Image width 240 mm | Image size 240x240 | Axial slice | Brain
FLAIR magnetic resonance.
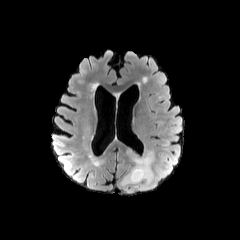
T1-weighted MR.
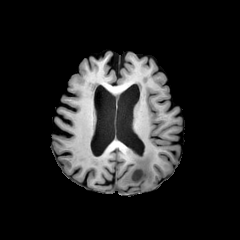
Post-contrast T1-weighted magnetic resonance.
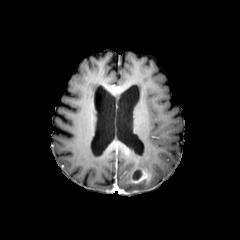
T2-weighted MR.
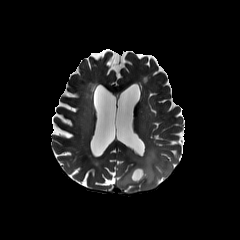
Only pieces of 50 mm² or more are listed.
peritumoral edema: bbox(116, 147, 159, 193)
necrotic tumor core: bbox(132, 169, 141, 179)
enhancing tumor: bbox(119, 160, 151, 187)